Brain, Axial view, Image size 240x240
FLAIR MR.
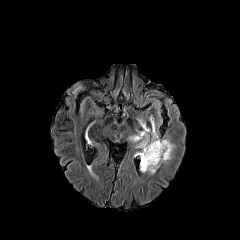
T1-weighted MR image.
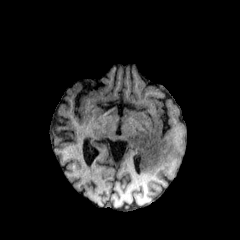
Post-contrast T1-weighted magnetic resonance.
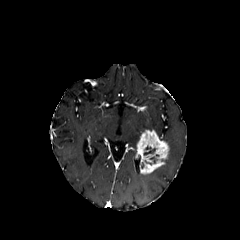
T2-weighted MR.
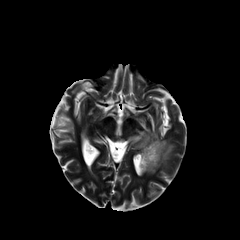
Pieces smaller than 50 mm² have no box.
enhancing_tumor:
  - 136, 130, 169, 174
peritumoral_edema:
  - 150, 116, 158, 135
  - 128, 119, 150, 148
  - 163, 139, 175, 163
necrotic_tumor_core:
  - 144, 146, 155, 155